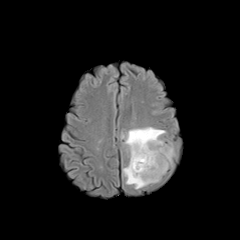
FLAIR magnetic resonance.
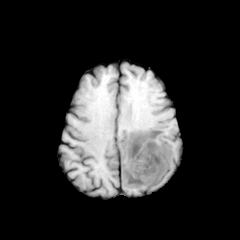
T1-weighted MR image.
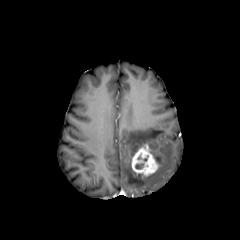
Post-contrast T1-weighted MR image of the same slice.
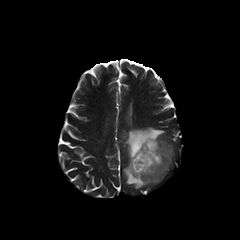
T2-weighted MR.
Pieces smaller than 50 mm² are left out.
The peritumoral edema is bounded by <box>122,127,174,189</box>. The enhancing tumor lies within <box>130,138,166,176</box>. The largest necrotic tumor core region is located at <box>149,141,159,148</box>.